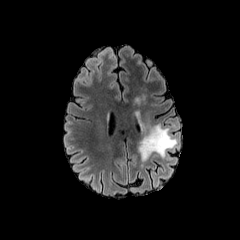
FLAIR MRI.
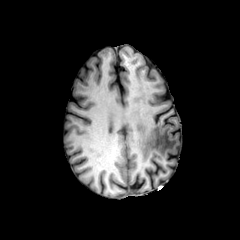
T1-weighted magnetic resonance.
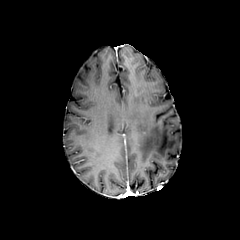
Post-contrast T1-weighted MRI of the same slice.
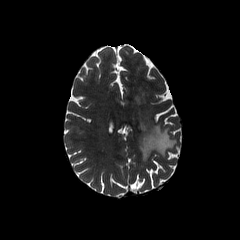
T2-weighted MR image.
The peritumoral edema lies within [138,124,177,161].